Head; Slice index 33
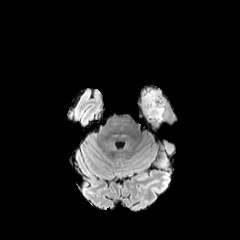
FLAIR MRI.
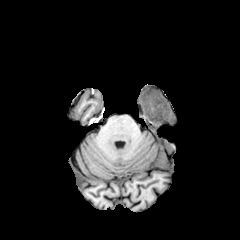
T1-weighted MRI.
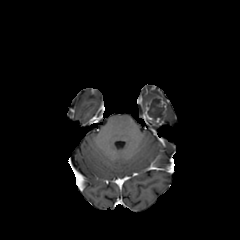
Post-contrast T1-weighted MRI of the same slice.
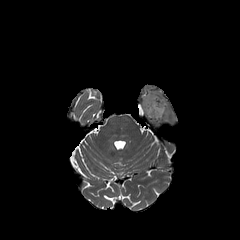
Same slice, T2-weighted magnetic resonance.
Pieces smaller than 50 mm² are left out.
enhancing tumor — (x1=144, y1=96, x2=166, y2=124)
peritumoral edema — (x1=140, y1=89, x2=162, y2=115)
necrotic tumor core — (x1=147, y1=98, x2=164, y2=121)